FLAIR MR image.
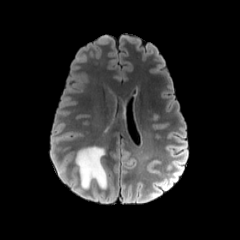
T1-weighted MRI.
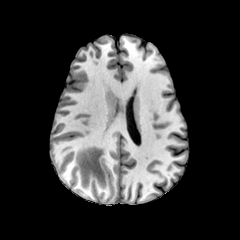
Post-contrast T1-weighted MR image.
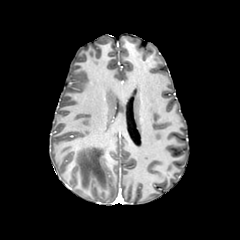
T2-weighted MR image.
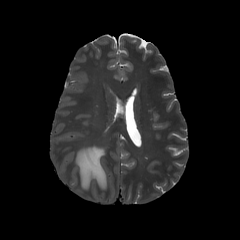
Head
The peritumoral edema is bounded by x1=76 y1=146 x2=107 y2=188.